Axial plane; Image covers 240 mm x 240 mm; Slice 56/155; Head
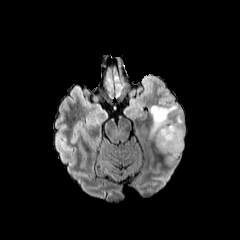
FLAIR MRI.
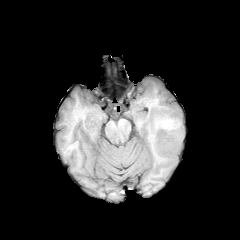
T1-weighted MRI.
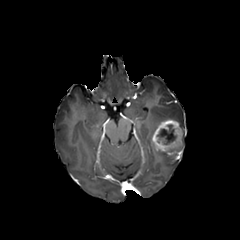
Post-contrast T1-weighted MR of the same slice.
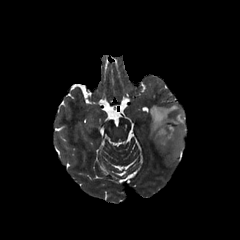
T2-weighted MR image.
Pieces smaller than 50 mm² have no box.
peritumoral_edema:
  - bbox=[150, 105, 184, 140]
enhancing_tumor:
  - bbox=[151, 119, 182, 159]
necrotic_tumor_core:
  - bbox=[157, 124, 176, 144]